Brain, Slice index 96
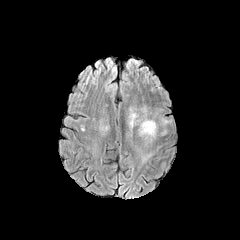
FLAIR MRI.
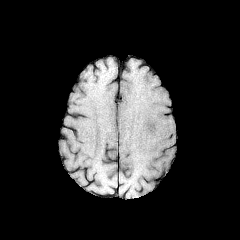
T1-weighted MR of the same slice.
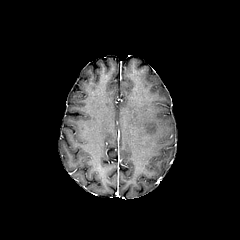
Post-contrast T1-weighted MR image.
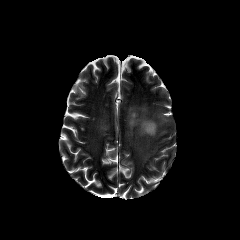
T2-weighted MR.
peritumoral edema at [x1=129, y1=107, x2=157, y2=145]